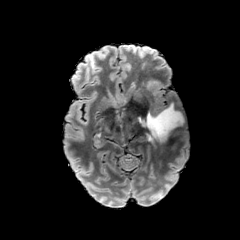
FLAIR MR.
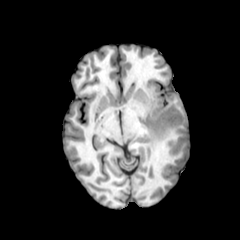
T1-weighted MR image of the same slice.
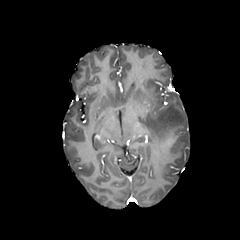
Post-contrast T1-weighted MR.
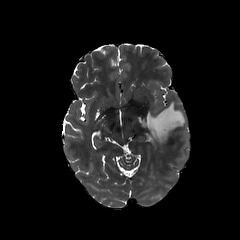
T2-weighted MR image.
Axial view | Head
peritumoral edema — 137,103,184,141